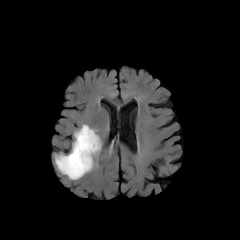
FLAIR MRI.
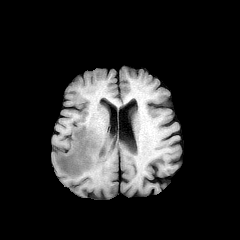
T1-weighted MR.
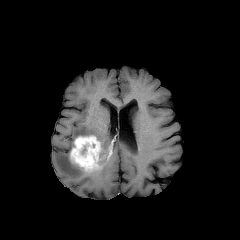
Same slice, post-contrast T1-weighted MRI.
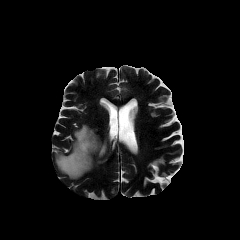
T2-weighted MR image.
Axial view.
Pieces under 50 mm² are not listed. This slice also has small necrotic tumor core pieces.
The 2 largest peritumoral edema regions appear at box(55, 153, 89, 179); box(74, 124, 101, 148). The enhancing tumor is at box(70, 135, 101, 171).